Image covers 240 mm x 240 mm; Brain
FLAIR MR image.
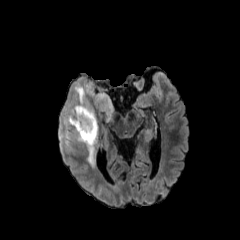
T1-weighted MR image.
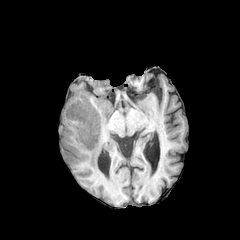
Post-contrast T1-weighted MR image.
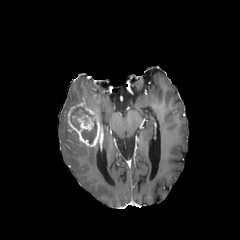
T2-weighted magnetic resonance.
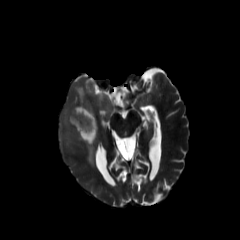
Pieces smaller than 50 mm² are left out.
{"enhancing_tumor": ["66 97 101 147"], "peritumoral_edema": ["59 86 115 169"], "necrotic_tumor_core": ["71 107 92 129", "81 120 96 143"]}